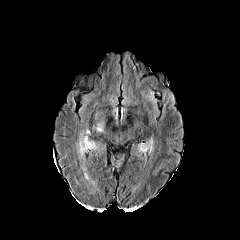
FLAIR magnetic resonance.
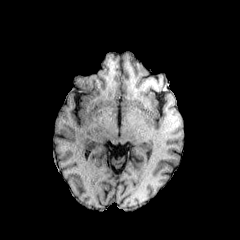
Same slice, T1-weighted MR image.
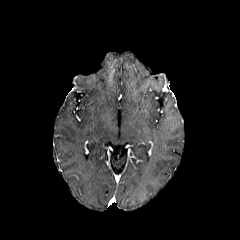
Post-contrast T1-weighted MRI.
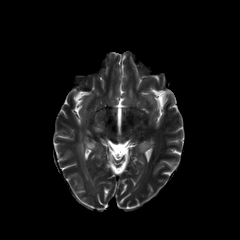
Same slice, T2-weighted MRI.
240x240. Axial slice.
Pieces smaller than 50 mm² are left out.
{
  "peritumoral_edema": [
    "(x1=77, y1=130, x2=97, y2=156)",
    "(x1=138, y1=144, x2=149, y2=152)"
  ]
}